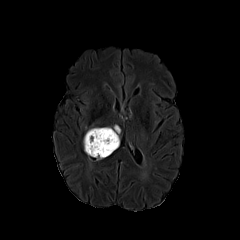
FLAIR MR.
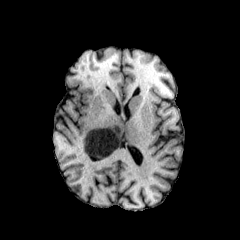
Same slice, T1-weighted MR image.
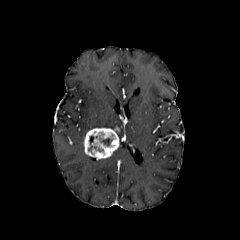
Post-contrast T1-weighted magnetic resonance of the same slice.
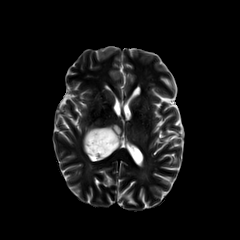
T2-weighted MR image.
Brain
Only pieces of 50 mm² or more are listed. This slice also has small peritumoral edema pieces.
enhancing tumor — <bbox>84, 126, 119, 159</bbox>
necrotic tumor core — <bbox>100, 138, 112, 146</bbox>